FLAIR MRI.
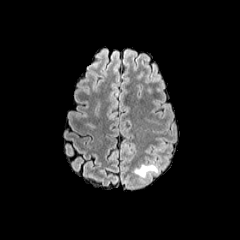
T1-weighted MR image.
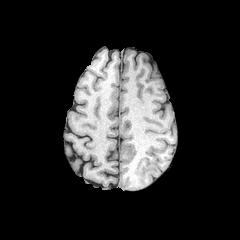
Post-contrast T1-weighted MR.
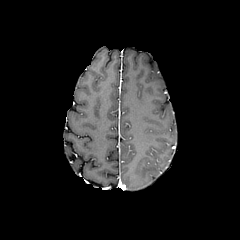
T2-weighted MR.
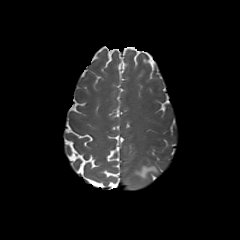
Image size 240x240 | Axial slice
peritumoral edema — [x1=134, y1=164, x2=158, y2=177]